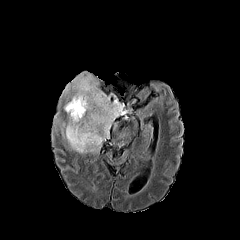
FLAIR magnetic resonance.
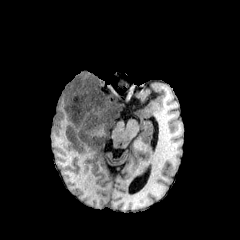
Same slice, T1-weighted MRI.
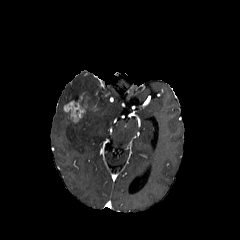
Post-contrast T1-weighted MRI of the same slice.
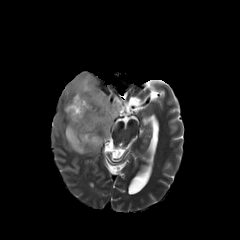
T2-weighted MRI.
Axial slice; Head
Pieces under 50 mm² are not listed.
The enhancing tumor is located at bbox=[63, 93, 97, 123]. The largest peritumoral edema region is located at bbox=[61, 73, 122, 153].